FLAIR MR.
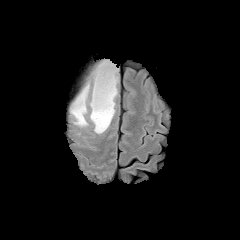
T1-weighted MR.
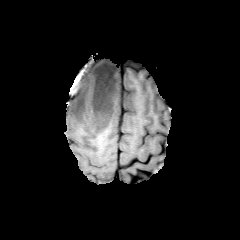
Post-contrast T1-weighted MRI.
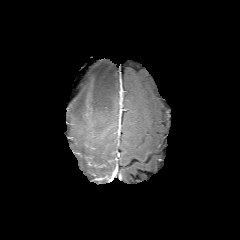
T2-weighted MR image.
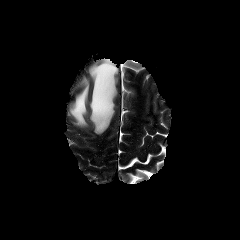
Brain
peritumoral_edema:
  - bbox=[89, 60, 118, 133]
  - bbox=[70, 81, 90, 127]